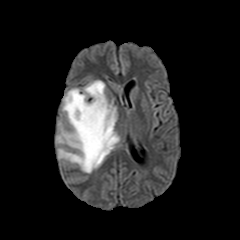
FLAIR magnetic resonance.
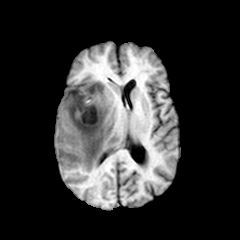
Same slice, T1-weighted MR.
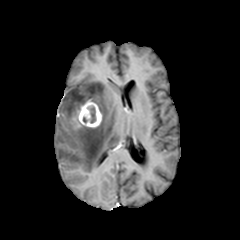
Post-contrast T1-weighted MR image.
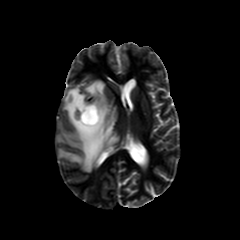
T2-weighted MRI of the same slice.
Brain; Axial view
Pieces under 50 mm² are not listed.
The enhancing tumor is bounded by bbox(72, 101, 101, 128). The largest necrotic tumor core region is at bbox(90, 107, 95, 122). The peritumoral edema is at bbox(56, 80, 119, 172).